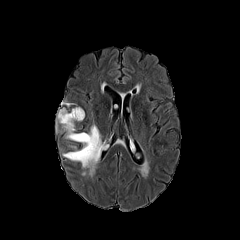
FLAIR MR image.
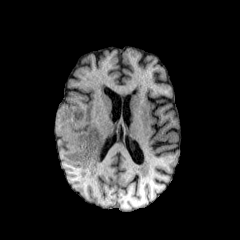
T1-weighted MRI.
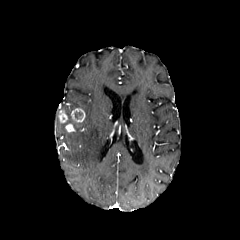
Post-contrast T1-weighted magnetic resonance.
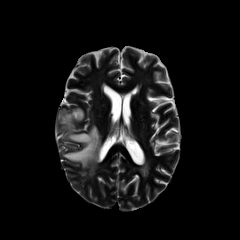
T2-weighted MRI.
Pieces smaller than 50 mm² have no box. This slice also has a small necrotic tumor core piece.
3 enhancing tumor regions are located at [58, 110, 68, 123], [65, 123, 74, 132], [70, 108, 85, 122]. The 2 largest peritumoral edema regions are located at [62, 124, 104, 175], [56, 108, 75, 132].